FLAIR MR.
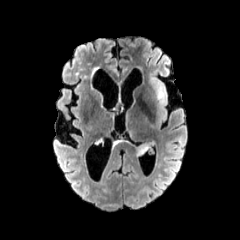
T1-weighted MR.
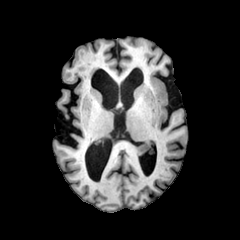
Post-contrast T1-weighted MR.
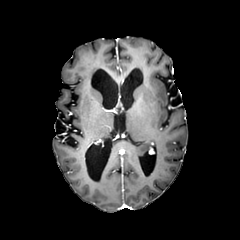
T2-weighted MR image.
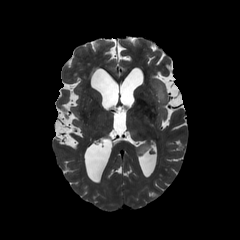
240x240 px, Axial slice
The peritumoral edema lies within box=[137, 143, 151, 154].